FLAIR MR.
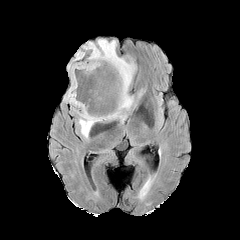
T1-weighted MR image.
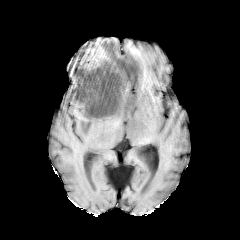
Post-contrast T1-weighted magnetic resonance.
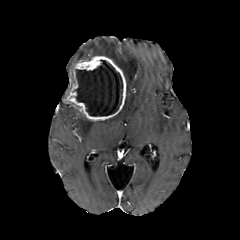
T2-weighted magnetic resonance.
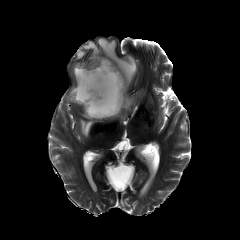
Axial plane. Head.
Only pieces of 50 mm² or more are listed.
The necrotic tumor core is bounded by (75,60,122,116). The enhancing tumor is bounded by (64,56,126,121). The 3 largest peritumoral edema regions are bounded by (73,49,85,60), (78,112,95,138), (82,39,136,122).